Slice 102 of 155; Brain
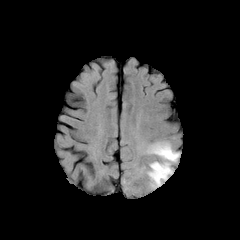
FLAIR MRI.
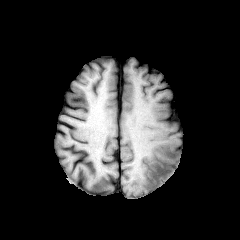
T1-weighted MR image.
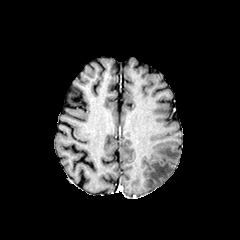
Same slice, post-contrast T1-weighted MR.
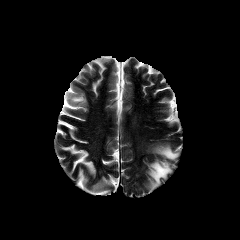
T2-weighted MR of the same slice.
<segmentation>
  <peritumoral_edema>rect(147, 143, 180, 189)</peritumoral_edema>
</segmentation>